Slice index 99; Brain; Axial plane
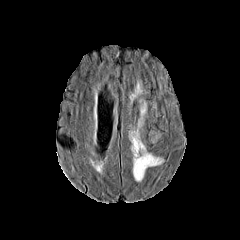
FLAIR MRI.
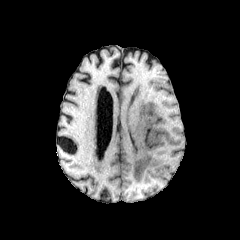
T1-weighted MR image.
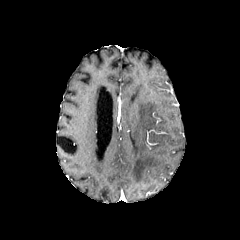
Same slice, post-contrast T1-weighted magnetic resonance.
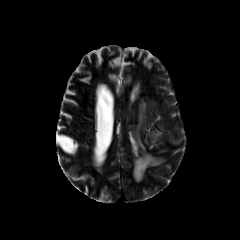
Same slice, T2-weighted MR image.
<segmentation>
  <peritumoral_edema>region(129, 103, 163, 181)</peritumoral_edema>
</segmentation>